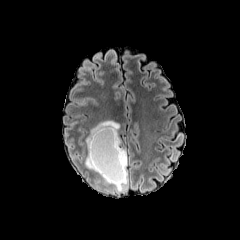
FLAIR MRI.
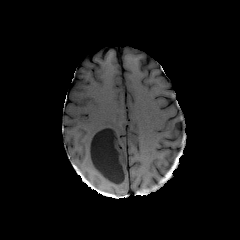
T1-weighted MRI.
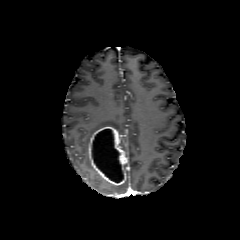
Post-contrast T1-weighted MRI.
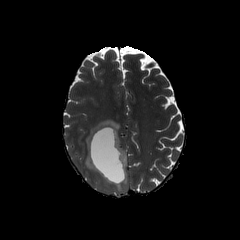
T2-weighted MR image.
240x240; Axial view
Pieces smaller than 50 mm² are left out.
The enhancing tumor appears at 88, 126, 127, 185. The necrotic tumor core is located at 92, 129, 123, 182. The 3 largest peritumoral edema regions are bounded by 85, 153, 97, 173; 99, 164, 127, 191; 85, 120, 119, 150.